FLAIR MR image.
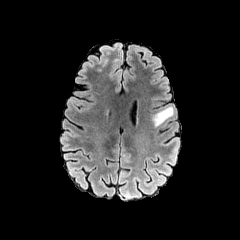
T1-weighted MR.
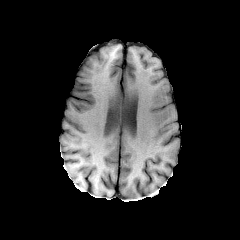
Post-contrast T1-weighted magnetic resonance.
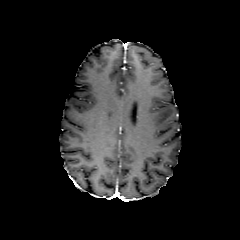
T2-weighted magnetic resonance.
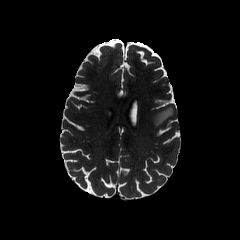
Axial plane
Segmented structures:
* peritumoral edema: x1=152, y1=106, x2=173, y2=126